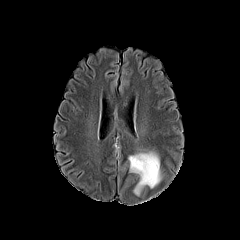
FLAIR MRI.
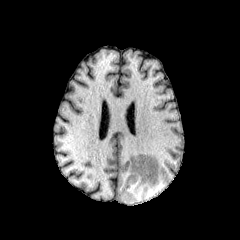
T1-weighted MR of the same slice.
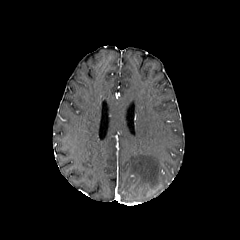
Post-contrast T1-weighted MRI.
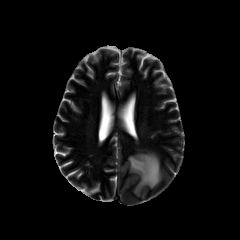
T2-weighted MRI.
Head; Axial slice
peritumoral edema at bbox=[128, 152, 160, 195]